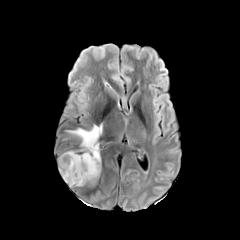
FLAIR MR image.
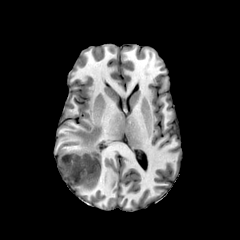
T1-weighted MR image.
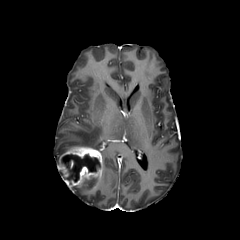
Post-contrast T1-weighted magnetic resonance of the same slice.
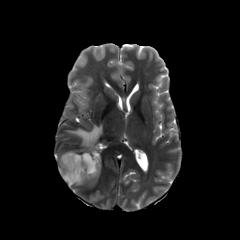
Same slice, T2-weighted MR image.
240x240, Brain, Axial slice
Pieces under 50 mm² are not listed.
The largest enhancing tumor region is at [x1=57, y1=146, x2=101, y2=187]. The largest peritumoral edema region lies within [x1=67, y1=124, x2=102, y2=150]. The largest necrotic tumor core region is at [x1=60, y1=154, x2=100, y2=182].